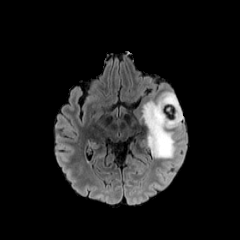
FLAIR MR image.
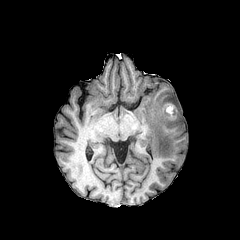
T1-weighted MRI of the same slice.
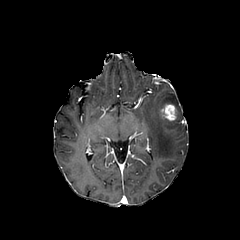
Post-contrast T1-weighted magnetic resonance.
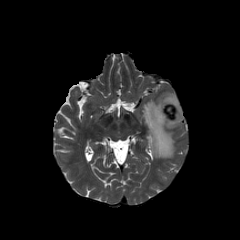
T2-weighted MRI.
Axial plane. Image size 240x240. Head.
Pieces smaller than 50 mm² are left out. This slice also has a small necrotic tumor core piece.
<segmentation>
  <peritumoral_edema><box>141,91,183,158</box></peritumoral_edema>
  <enhancing_tumor><box>159,104,176,120</box></enhancing_tumor>
</segmentation>